FLAIR magnetic resonance.
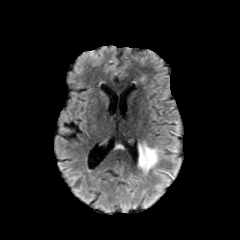
T1-weighted MR image.
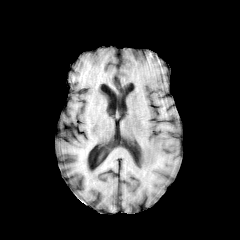
Post-contrast T1-weighted MR image.
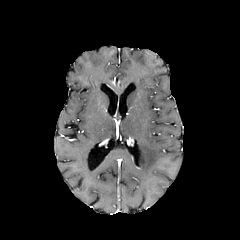
T2-weighted magnetic resonance.
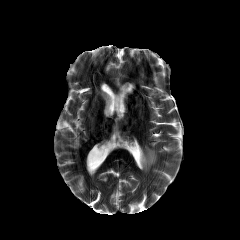
Head
peritumoral_edema:
  - 139 143 159 173